FLAIR magnetic resonance.
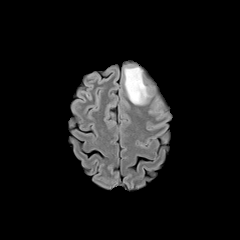
T1-weighted MR.
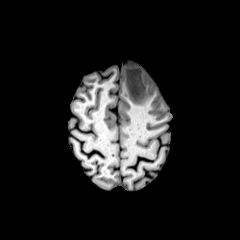
Post-contrast T1-weighted magnetic resonance.
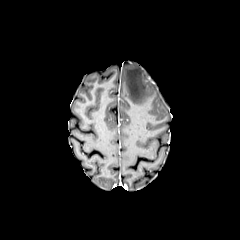
T2-weighted MR image.
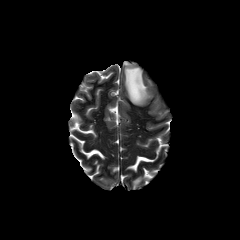
Head | Image size 240x240
The peritumoral edema lies within box(124, 66, 149, 104).